Head.
FLAIR MR.
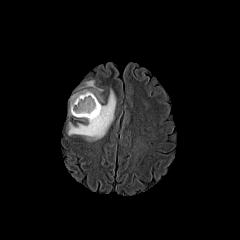
T1-weighted MRI.
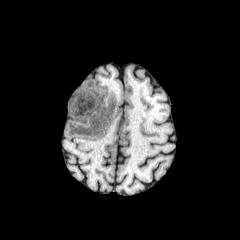
Post-contrast T1-weighted MR.
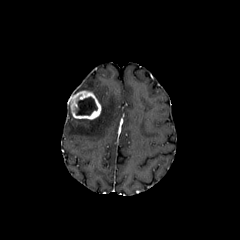
T2-weighted MR image.
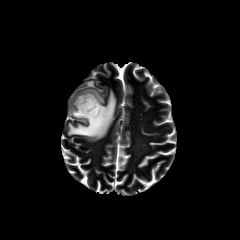
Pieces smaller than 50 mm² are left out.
{"peritumoral_edema": ["x1=67, y1=89, x2=116, y2=141", "x1=79, y1=80, x2=103, y2=103"], "enhancing_tumor": ["x1=69, y1=90, x2=101, y2=119"], "necrotic_tumor_core": ["x1=76, y1=97, x2=97, y2=115"]}